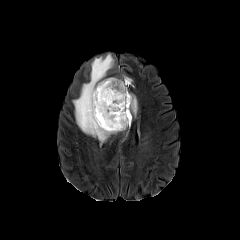
FLAIR magnetic resonance.
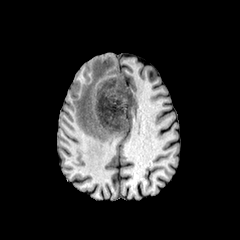
T1-weighted MRI.
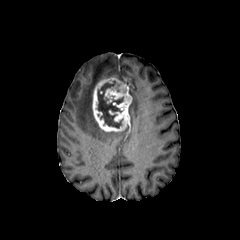
Same slice, post-contrast T1-weighted MRI.
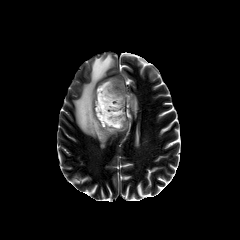
T2-weighted MR.
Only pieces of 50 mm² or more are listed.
Annotated regions:
- necrotic tumor core: (97,81,123,128)
- enhancing tumor: (92,77,132,131)
- peritumoral edema: (73,54,116,143), (129,94,137,121)